Axial view, Head, Image covers 240 mm x 240 mm, Slice index 76, 240x240 px
FLAIR MR.
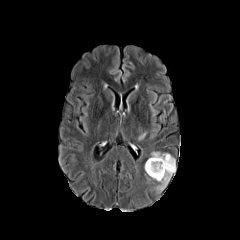
T1-weighted MR.
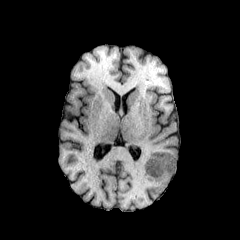
Post-contrast T1-weighted MR.
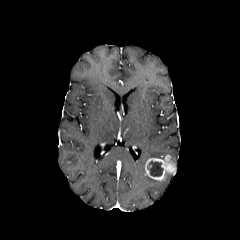
T2-weighted MR.
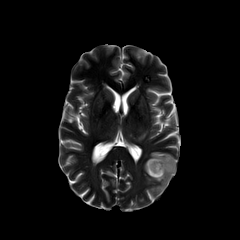
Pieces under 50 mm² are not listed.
necrotic tumor core: box(149, 161, 163, 176) | enhancing tumor: box(145, 155, 175, 180) | peritumoral edema: box(155, 174, 172, 192); box(150, 151, 169, 159)